Brain, Image covers 240 mm x 240 mm
FLAIR MR.
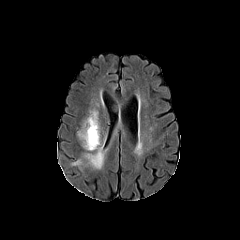
T1-weighted magnetic resonance.
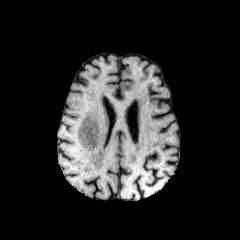
Post-contrast T1-weighted MRI.
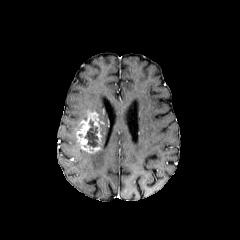
T2-weighted MR.
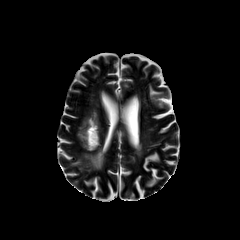
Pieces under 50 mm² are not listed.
peritumoral edema = 83 150 104 169
necrotic tumor core = 83 120 98 147
enhancing tumor = 77 111 101 153